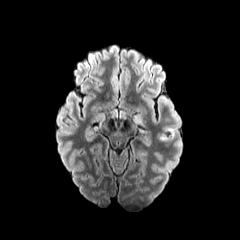
FLAIR MR.
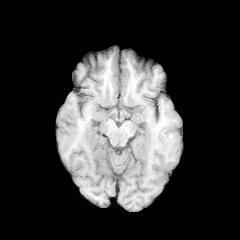
T1-weighted MR.
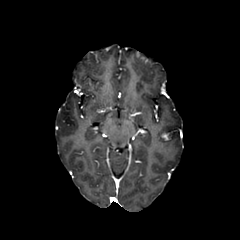
Post-contrast T1-weighted magnetic resonance.
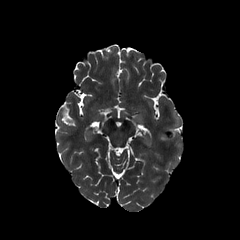
Same slice, T2-weighted MRI.
Image size 240x240; Axial slice
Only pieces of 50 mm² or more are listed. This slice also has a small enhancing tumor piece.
• peritumoral edema: region(166, 128, 176, 140)